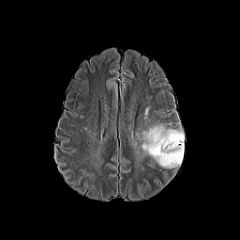
FLAIR magnetic resonance.
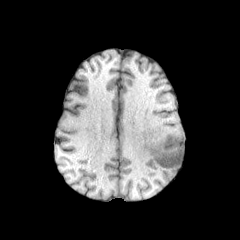
T1-weighted magnetic resonance of the same slice.
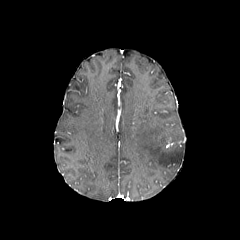
Post-contrast T1-weighted MRI of the same slice.
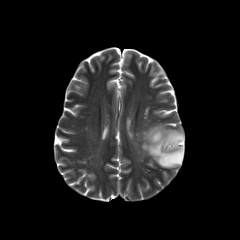
T2-weighted MRI.
Brain.
* peritumoral edema: <box>142,124,184,168</box>